Slice index 34; Axial plane; Brain
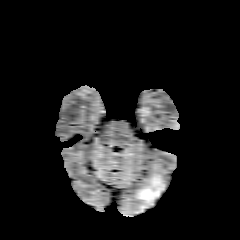
FLAIR MR.
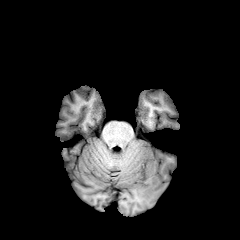
T1-weighted MR.
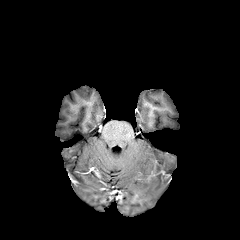
Post-contrast T1-weighted magnetic resonance of the same slice.
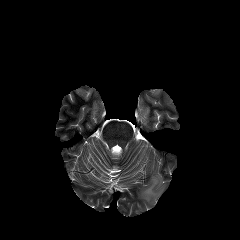
T2-weighted magnetic resonance of the same slice.
Annotated regions:
- peritumoral edema: 137:174:164:208